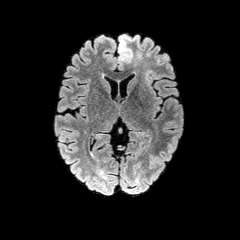
FLAIR magnetic resonance.
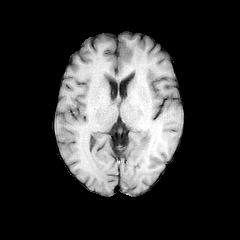
T1-weighted MRI of the same slice.
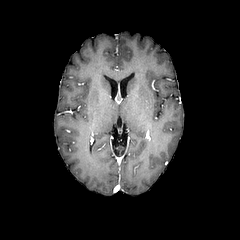
Post-contrast T1-weighted MRI of the same slice.
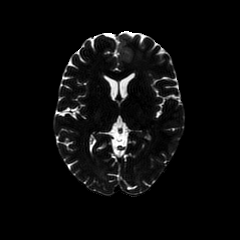
Same slice, T2-weighted magnetic resonance.
Brain
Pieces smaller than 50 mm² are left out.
<segmentation>
  <peritumoral_edema>l=118, t=34, r=133, b=63</peritumoral_edema>
</segmentation>